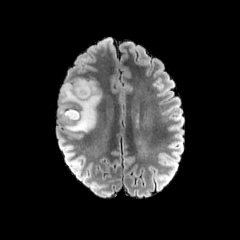
FLAIR MR image.
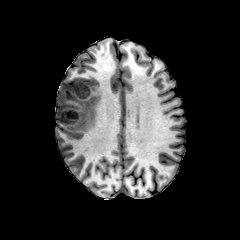
T1-weighted magnetic resonance.
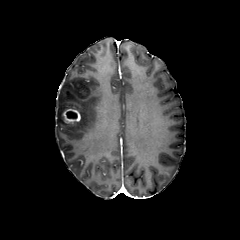
Post-contrast T1-weighted MR image.
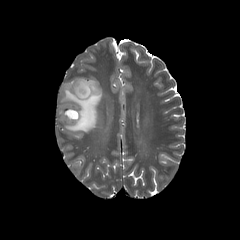
T2-weighted MR image of the same slice.
Head, 240x240 px, Axial plane
The peritumoral edema is bounded by <bbox>58, 78, 102, 132</bbox>. The enhancing tumor is bounded by <bbox>62, 108, 80, 123</bbox>. The necrotic tumor core is located at <bbox>66, 111, 77, 118</bbox>.